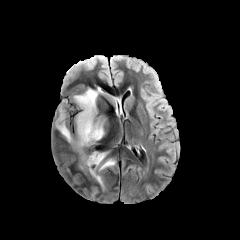
FLAIR MRI.
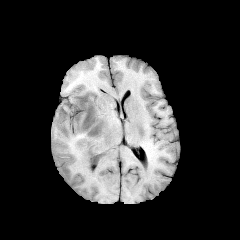
T1-weighted MR image.
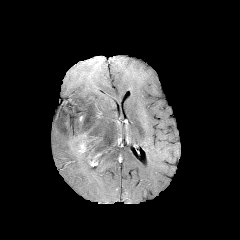
Post-contrast T1-weighted MR.
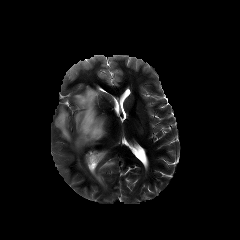
T2-weighted MR image.
Brain
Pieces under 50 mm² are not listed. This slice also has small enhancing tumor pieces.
peritumoral edema at x1=83 y1=151 x2=115 y2=183, x1=55 y1=87 x2=105 y2=152